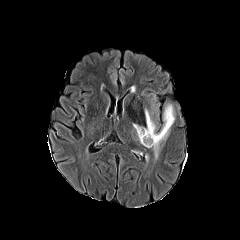
FLAIR MRI.
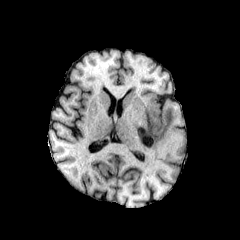
T1-weighted MR.
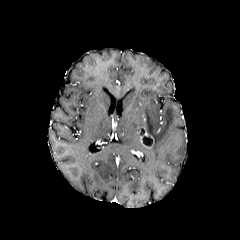
Same slice, post-contrast T1-weighted magnetic resonance.
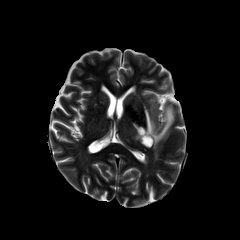
T2-weighted MRI.
Head
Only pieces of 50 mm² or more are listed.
necrotic_tumor_core:
  - <box>142,136,152,145</box>
peritumoral_edema:
  - <box>145,103,174,159</box>
enhancing_tumor:
  - <box>137,128,154,147</box>